FLAIR MR image.
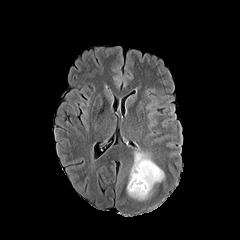
T1-weighted MR.
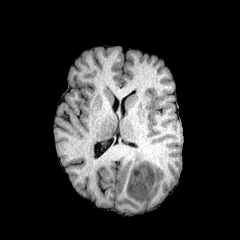
Post-contrast T1-weighted MR.
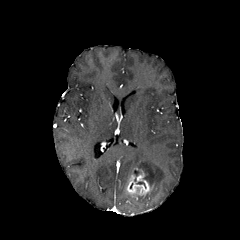
T2-weighted MR.
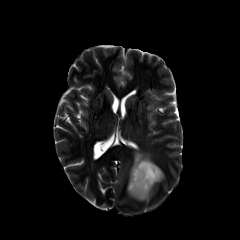
Head.
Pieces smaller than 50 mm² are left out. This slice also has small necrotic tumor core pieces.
The enhancing tumor is at 127, 167, 151, 197. The 2 largest peritumoral edema regions are located at 137, 191, 151, 200; 130, 151, 164, 188.